FLAIR MRI.
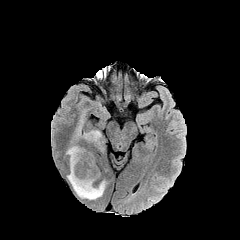
T1-weighted MRI.
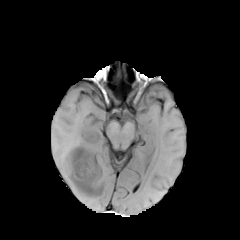
Post-contrast T1-weighted MRI.
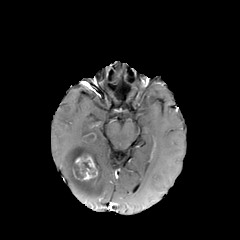
T2-weighted MRI.
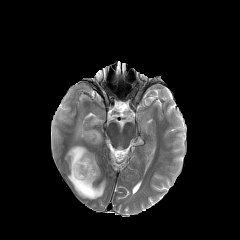
Axial view, 240x240
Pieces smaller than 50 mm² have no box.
• peritumoral edema: left=66, top=145, right=106, bottom=199; left=74, top=119, right=103, bottom=149
• necrotic tumor core: left=83, top=134, right=94, bottom=141; left=73, top=162, right=92, bottom=178
• enhancing tumor: left=74, top=154, right=97, bottom=180